240x240. Image covers 240 mm x 240 mm. Axial plane.
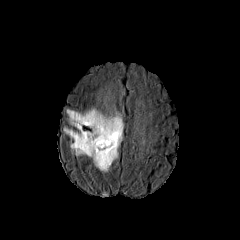
FLAIR MR.
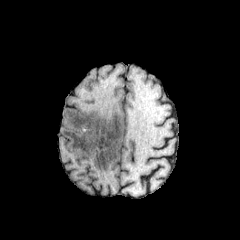
T1-weighted magnetic resonance.
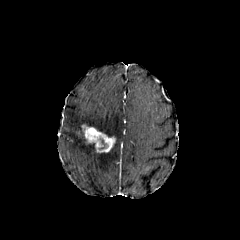
Post-contrast T1-weighted MR.
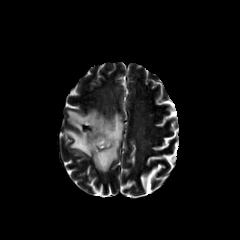
Same slice, T2-weighted magnetic resonance.
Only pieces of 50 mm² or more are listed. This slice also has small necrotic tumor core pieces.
The enhancing tumor lies within bbox(82, 125, 116, 153). The peritumoral edema is located at bbox(63, 107, 123, 172).